Head | Slice index 58 | Image size 240x240
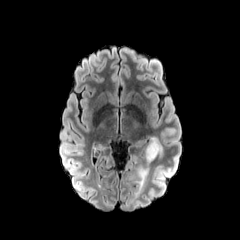
FLAIR MR.
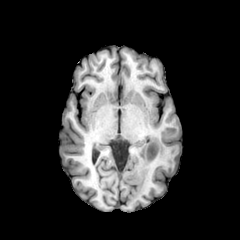
T1-weighted magnetic resonance.
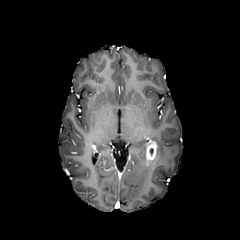
Post-contrast T1-weighted MRI.
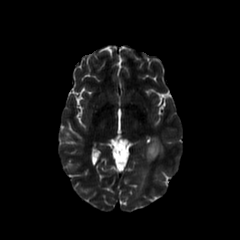
Same slice, T2-weighted MRI.
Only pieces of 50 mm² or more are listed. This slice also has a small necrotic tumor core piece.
{
  "peritumoral_edema": [
    "l=136, t=159, r=151, b=193",
    "l=151, t=137, r=163, b=156"
  ],
  "enhancing_tumor": [
    "l=146, t=141, r=157, b=160"
  ]
}